Axial plane, 240x240, Slice index 88
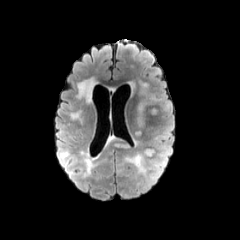
FLAIR MRI.
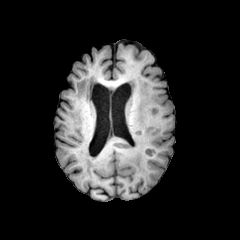
T1-weighted MRI.
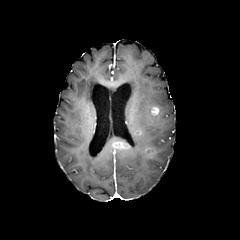
Post-contrast T1-weighted MR of the same slice.
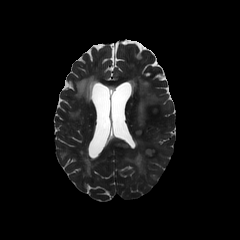
T2-weighted magnetic resonance.
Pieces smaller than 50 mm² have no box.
peritumoral edema: bounding box <bbox>144, 148, 155, 156</bbox>, <bbox>137, 104, 145, 127</bbox>, <bbox>125, 154, 145, 172</bbox>
enhancing tumor: bounding box <bbox>150, 106, 159, 115</bbox>, <bbox>114, 142, 126, 148</bbox>